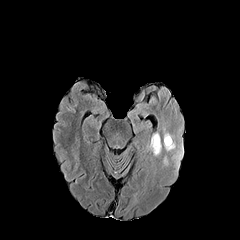
FLAIR MR.
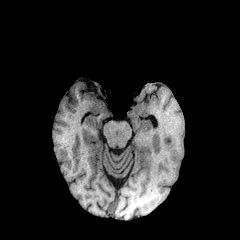
T1-weighted magnetic resonance.
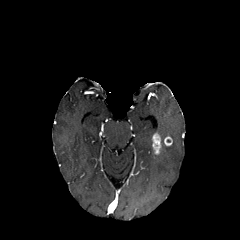
Post-contrast T1-weighted magnetic resonance of the same slice.
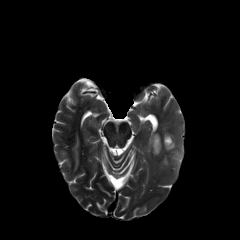
T2-weighted MR image of the same slice.
240x240 px | Brain | Axial plane
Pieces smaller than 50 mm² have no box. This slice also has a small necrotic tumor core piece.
enhancing tumor: bounding box [152,133,161,154], [164,136,172,145]
peritumoral edema: bounding box [164,140,175,150], [174,146,183,165]